Slice 45 of 155
FLAIR MR.
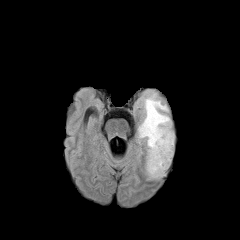
T1-weighted magnetic resonance.
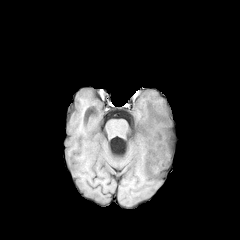
Post-contrast T1-weighted MR image.
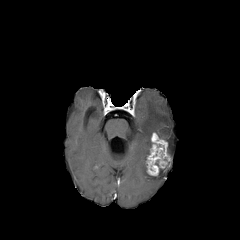
T2-weighted magnetic resonance.
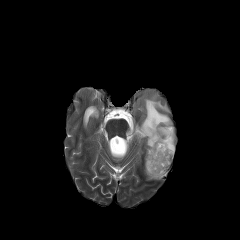
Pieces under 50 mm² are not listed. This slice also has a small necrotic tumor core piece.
The 2 largest peritumoral edema regions are bounded by [x1=148, y1=169, x2=165, y2=178], [x1=137, y1=93, x2=174, y2=157]. The enhancing tumor is located at [x1=146, y1=132, x2=171, y2=176].